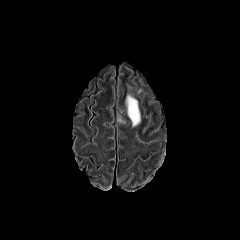
FLAIR MRI.
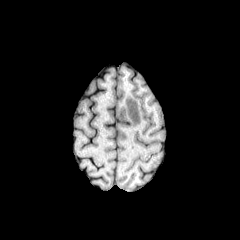
T1-weighted MRI.
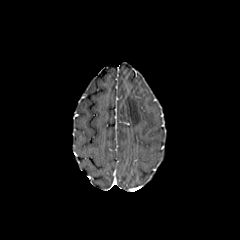
Same slice, post-contrast T1-weighted MR image.
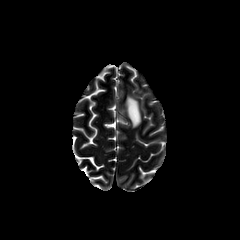
T2-weighted MR of the same slice.
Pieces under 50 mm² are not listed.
peritumoral edema: (125, 95, 140, 126)